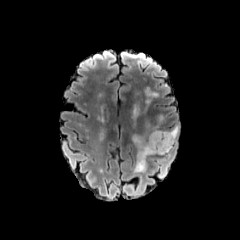
FLAIR MR image.
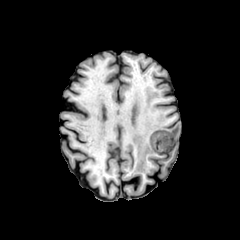
T1-weighted MRI.
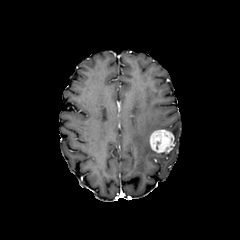
Post-contrast T1-weighted MR image of the same slice.
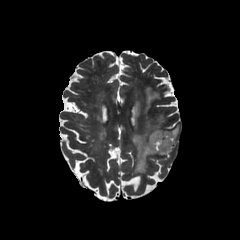
T2-weighted MR.
Axial view
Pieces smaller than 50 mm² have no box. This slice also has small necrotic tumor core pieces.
2 peritumoral edema regions appear at box=[167, 125, 178, 148]; box=[131, 86, 169, 172]. The enhancing tumor is bounded by box=[149, 129, 174, 152].